FLAIR MR.
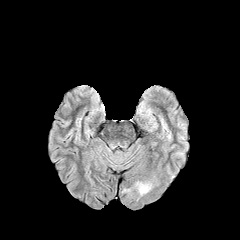
T1-weighted magnetic resonance.
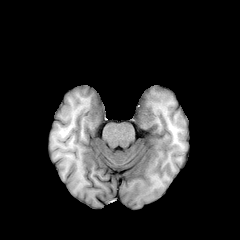
Post-contrast T1-weighted MR.
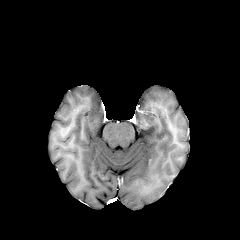
T2-weighted magnetic resonance.
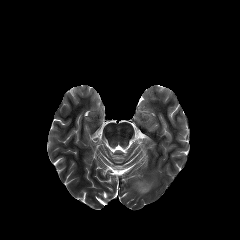
Brain
peritumoral_edema:
  - 135:182:151:194